Head, Axial view, Image width 240 mm, 1.00 mm slice spacing, Slice 65 of 155
FLAIR MR.
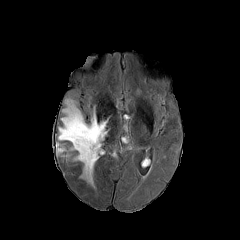
T1-weighted MR image.
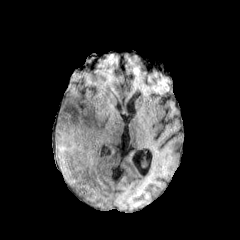
Post-contrast T1-weighted MR image.
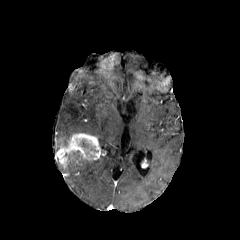
T2-weighted MRI.
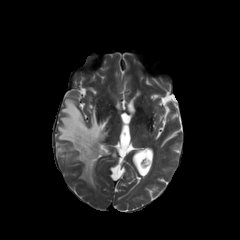
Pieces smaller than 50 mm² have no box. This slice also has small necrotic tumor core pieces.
The 2 largest peritumoral edema regions are bounded by {"x1": 74, "y1": 152, "x2": 96, "y2": 185}, {"x1": 58, "y1": 99, "x2": 107, "y2": 146}. The enhancing tumor appears at {"x1": 56, "y1": 133, "x2": 101, "y2": 164}.